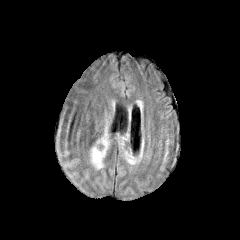
FLAIR MR image.
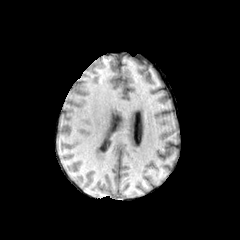
T1-weighted MRI of the same slice.
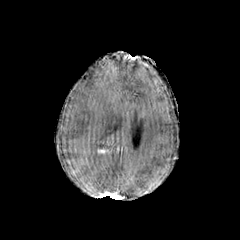
Post-contrast T1-weighted MR.
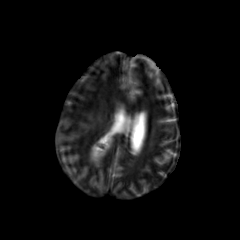
T2-weighted magnetic resonance of the same slice.
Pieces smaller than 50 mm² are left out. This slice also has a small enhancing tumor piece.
2 peritumoral edema regions are bounded by bbox(91, 146, 104, 167); bbox(98, 134, 108, 146).